FLAIR MR.
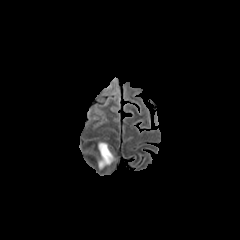
T1-weighted MR.
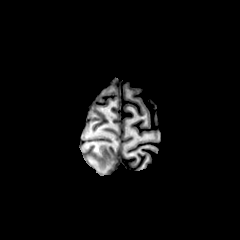
Post-contrast T1-weighted magnetic resonance.
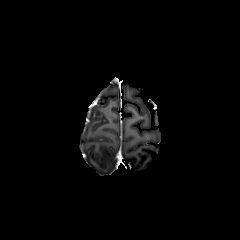
T2-weighted MRI.
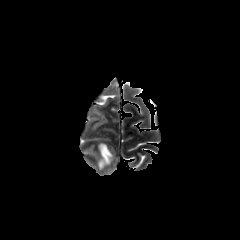
peritumoral edema: box=[98, 143, 114, 169]